Head; Slice 85 of 155
FLAIR magnetic resonance.
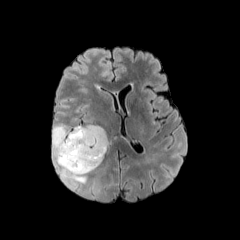
T1-weighted MR image.
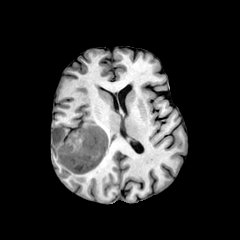
Post-contrast T1-weighted MR image.
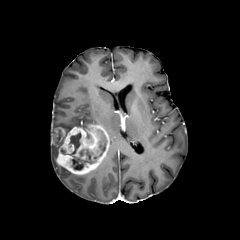
T2-weighted magnetic resonance.
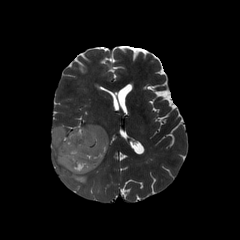
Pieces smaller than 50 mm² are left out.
necrotic tumor core at 98,142,105,156; 68,133,81,155; 71,149,92,170
enhancing tumor at 52,124,109,174
peritumoral edema at 52,143,60,166; 57,167,86,183; 52,123,92,139